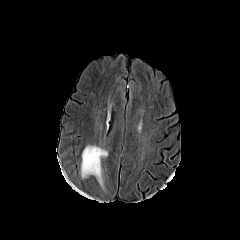
FLAIR MR image.
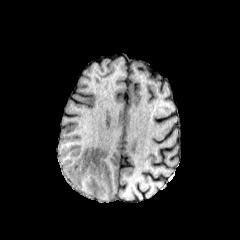
Same slice, T1-weighted MR.
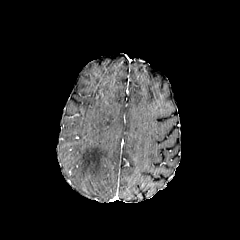
Post-contrast T1-weighted MR.
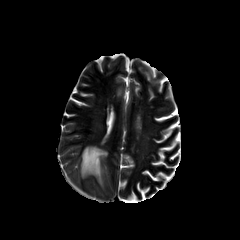
T2-weighted MR.
240x240, Brain
The peritumoral edema appears at (80, 145, 107, 189).